Slice index 93, 240x240, Axial view, Brain, Image width 240 mm
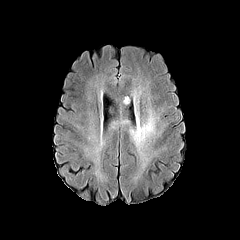
FLAIR MRI.
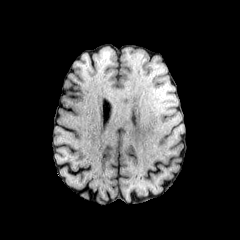
T1-weighted MR image of the same slice.
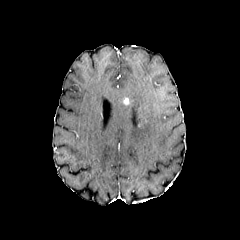
Post-contrast T1-weighted MR.
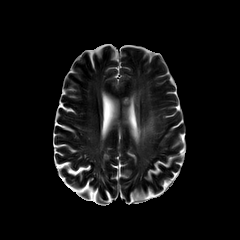
T2-weighted MR.
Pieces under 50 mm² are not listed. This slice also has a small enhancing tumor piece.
The peritumoral edema is bounded by bbox=[130, 96, 158, 149].